240x240 px; Head
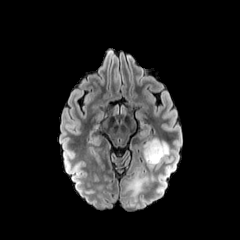
FLAIR MR image.
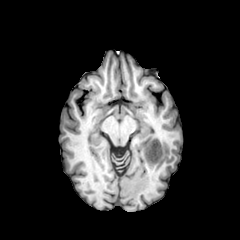
T1-weighted magnetic resonance.
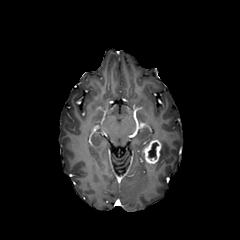
Post-contrast T1-weighted MR image.
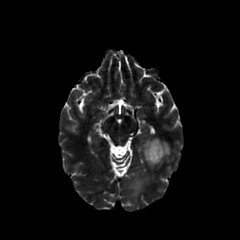
T2-weighted MRI of the same slice.
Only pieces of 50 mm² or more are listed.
necrotic tumor core: 148, 142, 158, 158 | enhancing tumor: 143, 139, 161, 163 | peritumoral edema: 147, 139, 169, 167; 124, 176, 147, 200